FLAIR MR.
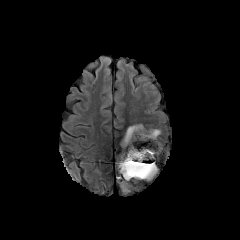
T1-weighted magnetic resonance.
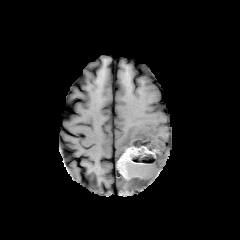
Post-contrast T1-weighted MR image.
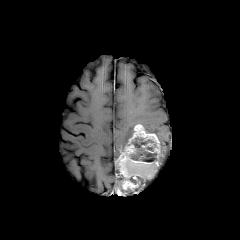
T2-weighted MRI.
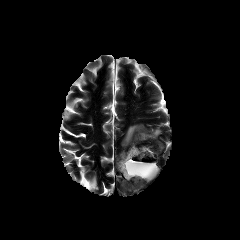
Brain, Image size 240x240
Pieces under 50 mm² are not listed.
necrotic_tumor_core:
  - x1=126 y1=138 x2=156 y2=183
peritumoral_edema:
  - x1=146 y1=129 x2=161 y2=136
  - x1=121 y1=124 x2=137 y2=147
enhancing_tumor:
  - x1=118 y1=124 x2=160 y2=189